FLAIR magnetic resonance.
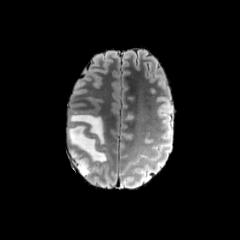
T1-weighted MR image.
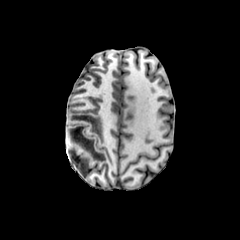
Post-contrast T1-weighted MR.
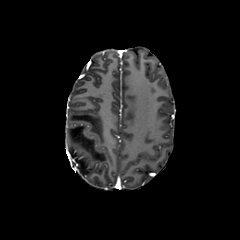
T2-weighted magnetic resonance.
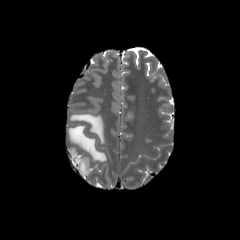
Image size 240x240. Head.
3 peritumoral edema regions are located at region(69, 114, 104, 143); region(70, 149, 89, 175); region(67, 125, 106, 162).